FLAIR MR image.
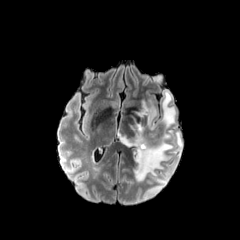
T1-weighted MR image.
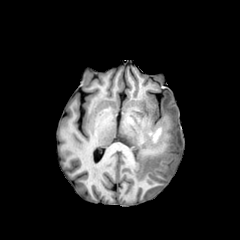
Post-contrast T1-weighted MR image.
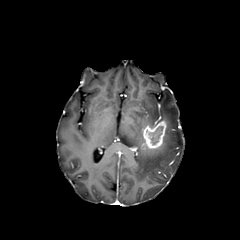
T2-weighted MRI.
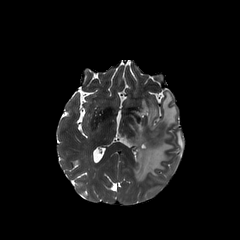
Axial view. Image size 240x240.
Annotated regions:
* enhancing tumor: [141, 120, 166, 149]
* necrotic tumor core: [151, 127, 162, 144]
* peritumoral edema: [120, 91, 182, 184]